Brain; Image width 240 mm
FLAIR magnetic resonance.
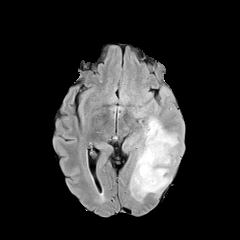
T1-weighted MR image.
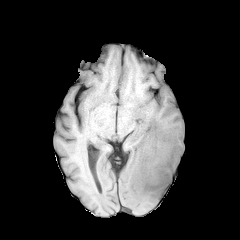
Post-contrast T1-weighted magnetic resonance.
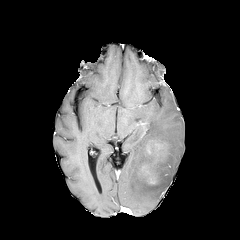
T2-weighted MR.
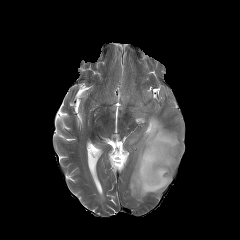
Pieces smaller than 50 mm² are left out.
The largest peritumoral edema region is located at [129, 116, 179, 201]. The enhancing tumor is at [142, 166, 156, 184].